FLAIR magnetic resonance.
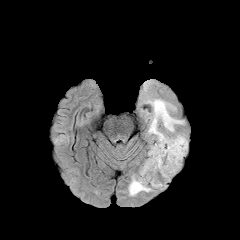
T1-weighted MR image.
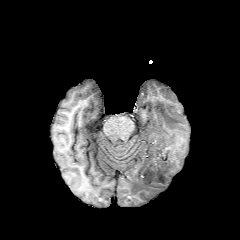
Post-contrast T1-weighted magnetic resonance.
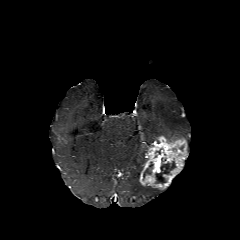
T2-weighted magnetic resonance.
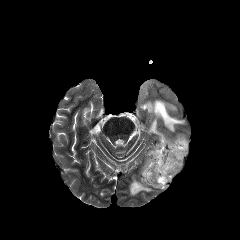
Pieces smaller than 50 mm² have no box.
<segmentation>
  <enhancing_tumor>{"x1": 139, "y1": 135, "x2": 187, "y2": 189}</enhancing_tumor>
  <peritumoral_edema>{"x1": 129, "y1": 176, "x2": 153, "y2": 195}, {"x1": 148, "y1": 99, "x2": 184, "y2": 139}</peritumoral_edema>
  <necrotic_tumor_core>{"x1": 156, "y1": 161, "x2": 175, "y2": 183}</necrotic_tumor_core>
</segmentation>